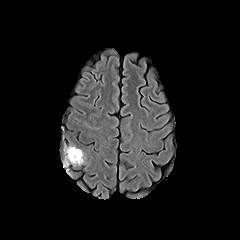
FLAIR MR.
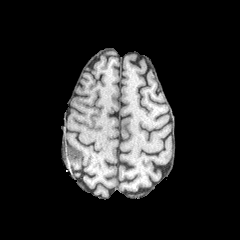
T1-weighted MR image.
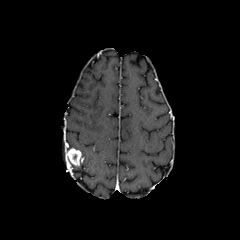
Post-contrast T1-weighted magnetic resonance of the same slice.
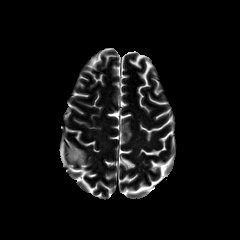
T2-weighted MR image of the same slice.
Image size 240x240; Brain
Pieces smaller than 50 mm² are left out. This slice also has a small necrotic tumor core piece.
enhancing tumor — left=67, top=148, right=81, bottom=165
peritumoral edema — left=64, top=146, right=84, bottom=164